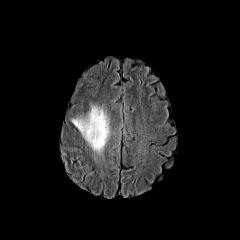
FLAIR MR.
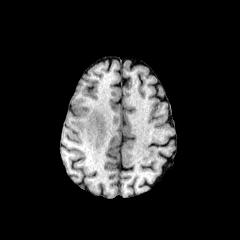
T1-weighted MRI.
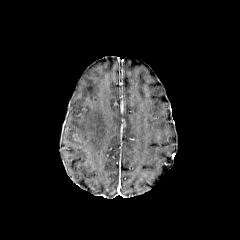
Same slice, post-contrast T1-weighted MRI.
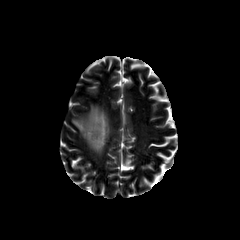
T2-weighted magnetic resonance.
Head, Axial plane
peritumoral edema = region(72, 105, 110, 154)